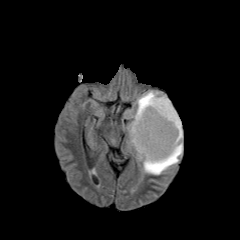
FLAIR magnetic resonance.
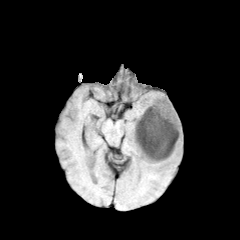
T1-weighted MR.
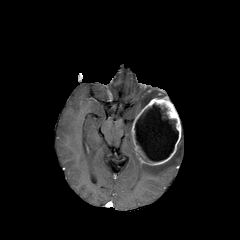
Post-contrast T1-weighted magnetic resonance.
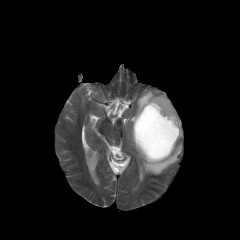
T2-weighted magnetic resonance of the same slice.
Brain
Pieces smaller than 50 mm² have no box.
The 2 largest peritumoral edema regions are located at rect(123, 90, 165, 148); rect(141, 130, 182, 174). The largest necrotic tumor core region appears at rect(135, 104, 178, 161). The enhancing tumor is bounded by rect(131, 96, 181, 165).